Image width 240 mm, 1.00 mm slice spacing | 240x240
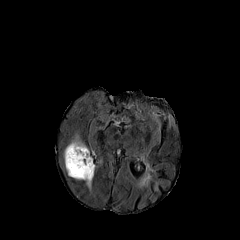
FLAIR magnetic resonance.
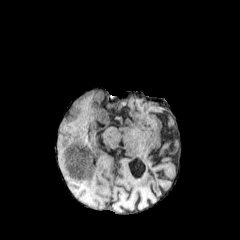
T1-weighted magnetic resonance of the same slice.
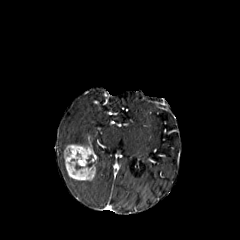
Same slice, post-contrast T1-weighted MR image.
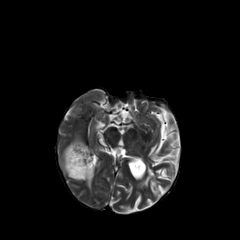
T2-weighted MR.
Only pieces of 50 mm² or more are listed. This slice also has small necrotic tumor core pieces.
peritumoral edema = bbox(70, 135, 86, 145)
enhancing tumor = bbox(64, 144, 96, 180)